FLAIR magnetic resonance.
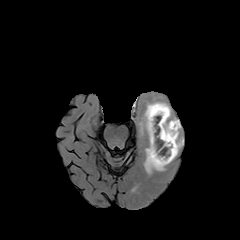
T1-weighted MRI.
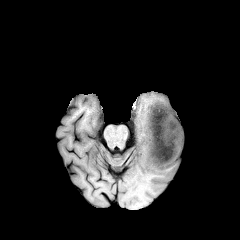
Post-contrast T1-weighted MR.
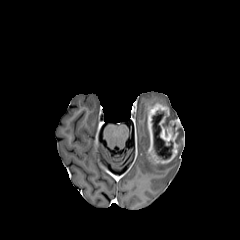
T2-weighted MR image.
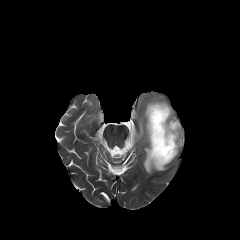
Axial view, Brain
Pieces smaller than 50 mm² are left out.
peritumoral edema at (left=177, top=127, right=184, bottom=153), (left=139, top=98, right=176, bottom=173)
enhancing tumor at (left=147, top=102, right=181, bottom=164)
necrotic tumor core at (left=152, top=112, right=172, bottom=159)